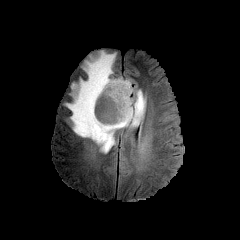
FLAIR MRI.
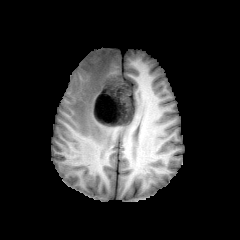
Same slice, T1-weighted MR.
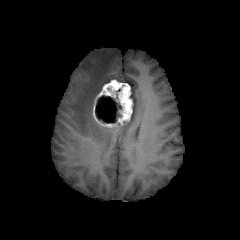
Post-contrast T1-weighted MRI.
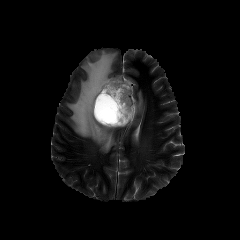
T2-weighted magnetic resonance of the same slice.
Axial view.
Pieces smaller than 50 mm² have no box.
peritumoral edema: bounding box rect(65, 50, 145, 153)
necrotic tumor core: bounding box rect(95, 95, 121, 123)
enhancing tumor: bounding box rect(93, 79, 133, 127)